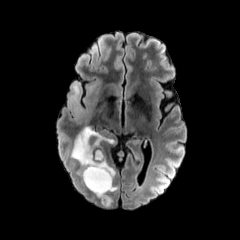
FLAIR magnetic resonance.
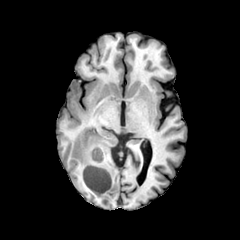
T1-weighted MR.
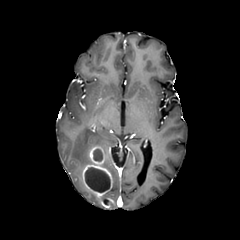
Same slice, post-contrast T1-weighted MR image.
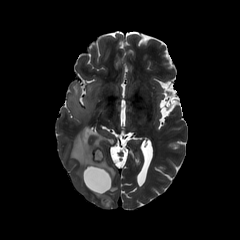
T2-weighted MR.
Brain
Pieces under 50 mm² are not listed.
peritumoral edema: box(68, 79, 114, 167); box(103, 159, 115, 178) | necrotic tumor core: box(85, 167, 110, 192); box(93, 149, 102, 161) | enhancing tumor: box(101, 198, 112, 207); box(82, 146, 112, 198)